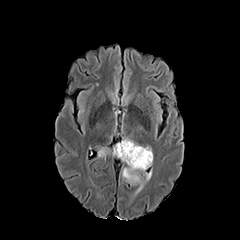
FLAIR MRI.
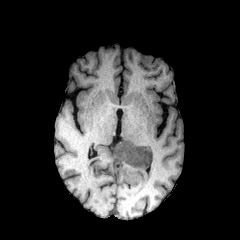
T1-weighted MR.
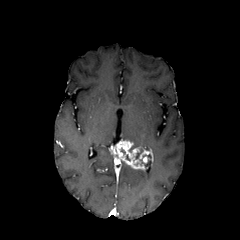
Post-contrast T1-weighted MRI.
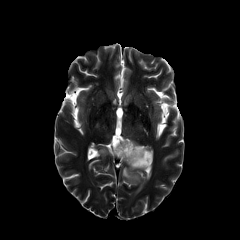
T2-weighted magnetic resonance of the same slice.
Axial plane
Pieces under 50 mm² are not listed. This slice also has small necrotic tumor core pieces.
{
  "enhancing_tumor": [
    {"x1": 109, "y1": 140, "x2": 153, "y2": 170}
  ],
  "peritumoral_edema": [
    {"x1": 122, "y1": 165, "x2": 151, "y2": 192},
    {"x1": 98, "y1": 148, "x2": 110, "y2": 157}
  ]
}